FLAIR magnetic resonance.
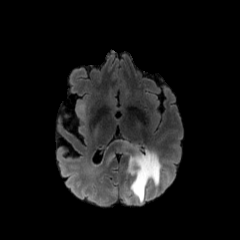
T1-weighted MR image.
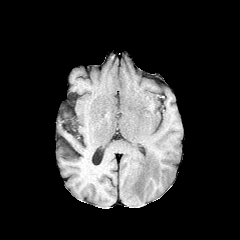
Post-contrast T1-weighted MR.
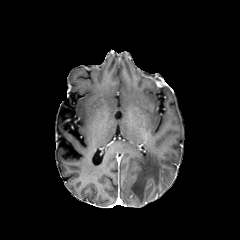
T2-weighted MR.
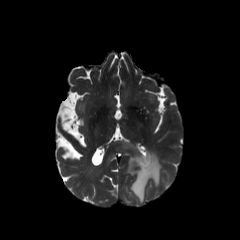
Head, Axial view
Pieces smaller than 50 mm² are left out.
peritumoral edema: [x1=118, y1=141, x2=161, y2=203]